FLAIR MRI.
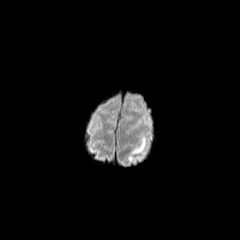
T1-weighted MRI.
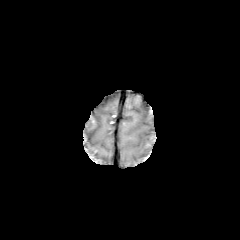
Post-contrast T1-weighted MR.
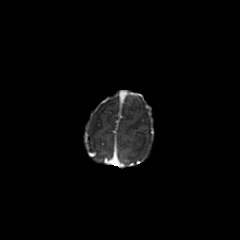
T2-weighted MR.
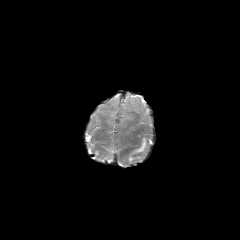
Brain | Axial view
{
  "peritumoral_edema": [
    "[128, 137, 146, 161]"
  ]
}